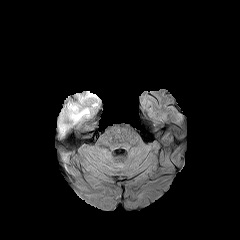
FLAIR magnetic resonance.
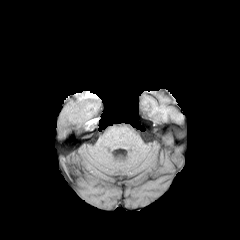
T1-weighted MRI.
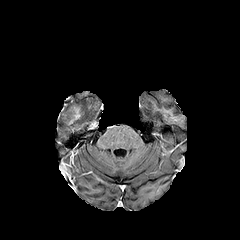
Post-contrast T1-weighted magnetic resonance of the same slice.
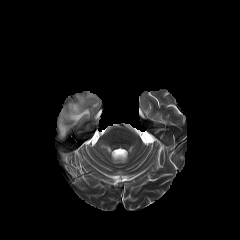
T2-weighted MR.
Findings:
* peritumoral edema: bbox=[58, 95, 98, 135]
* enhancing tumor: bbox=[71, 106, 81, 122]